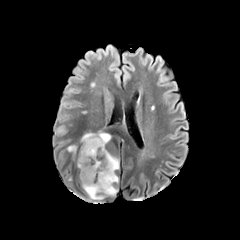
FLAIR MR.
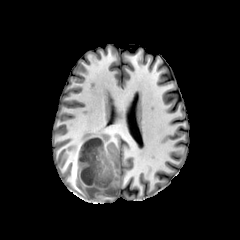
Same slice, T1-weighted magnetic resonance.
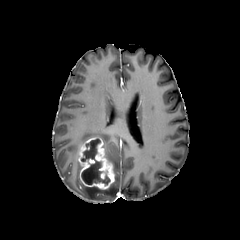
Post-contrast T1-weighted MRI.
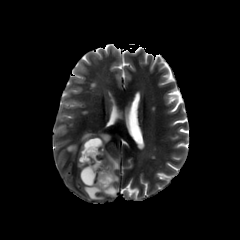
T2-weighted MR image of the same slice.
Head
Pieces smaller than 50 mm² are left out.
2 necrotic tumor core regions are bounded by x1=81 y1=138 x2=100 y2=161, x1=81 y1=160 x2=110 y2=184. The 4 largest peritumoral edema regions are bounded by x1=67 y1=145 x2=77 y2=155, x1=106 y1=150 x2=119 y2=172, x1=81 y1=132 x2=111 y2=147, x1=83 y1=184 x2=117 y2=199. The enhancing tumor appears at x1=78 y1=137 x2=114 y2=189.